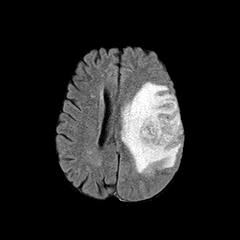
FLAIR MRI.
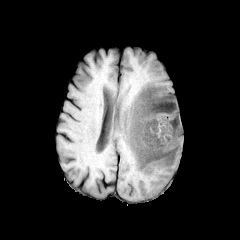
Same slice, T1-weighted magnetic resonance.
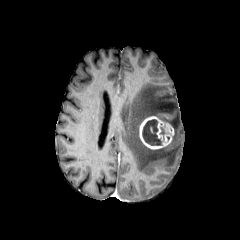
Post-contrast T1-weighted MRI.
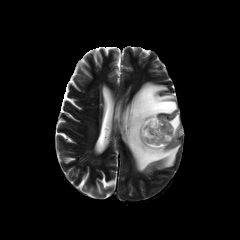
T2-weighted magnetic resonance.
Axial view. Brain.
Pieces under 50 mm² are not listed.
* peritumoral edema: left=121, top=82, right=182, bottom=172
* enhancing tumor: left=139, top=116, right=174, bottom=149
* necrotic tumor core: left=142, top=119, right=161, bottom=145